FLAIR magnetic resonance.
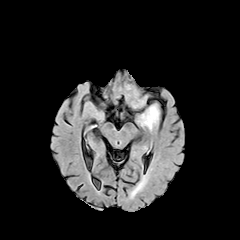
T1-weighted MRI.
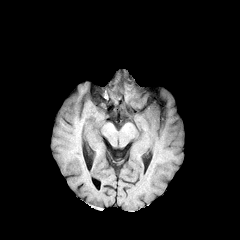
Post-contrast T1-weighted magnetic resonance.
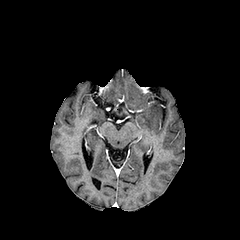
T2-weighted MR.
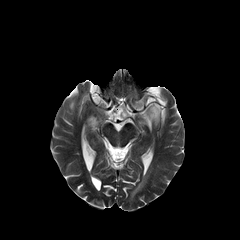
Image size 240x240 | Axial view
Findings:
- peritumoral edema: rect(142, 105, 159, 129)